Image covers 240 mm x 240 mm. Slice 32 of 155. Head. Image size 240x240.
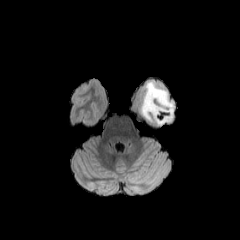
FLAIR MRI.
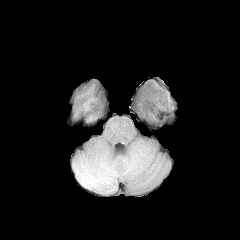
T1-weighted magnetic resonance.
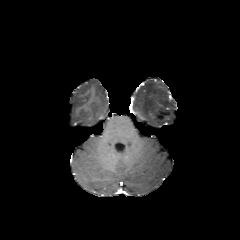
Post-contrast T1-weighted MR image.
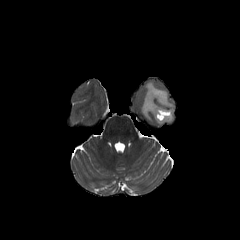
T2-weighted MR image.
<segmentation>
  <peritumoral_edema>bbox(141, 81, 175, 124)</peritumoral_edema>
</segmentation>